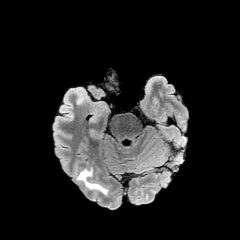
FLAIR MR image.
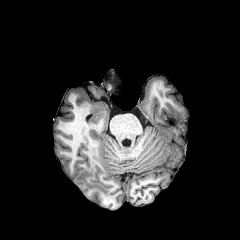
T1-weighted MR.
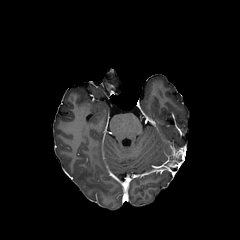
Same slice, post-contrast T1-weighted MR image.
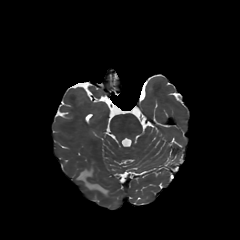
T2-weighted MR of the same slice.
240x240; Axial slice; Brain
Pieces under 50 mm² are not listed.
The largest peritumoral edema region is bounded by 75 162 109 195.